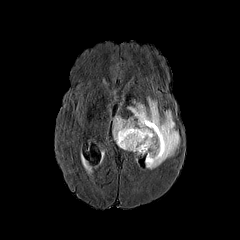
FLAIR MRI.
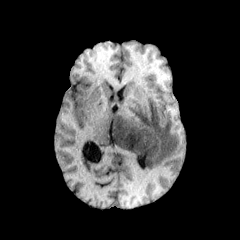
Same slice, T1-weighted magnetic resonance.
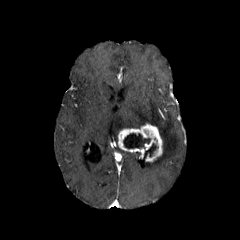
Post-contrast T1-weighted MR image.
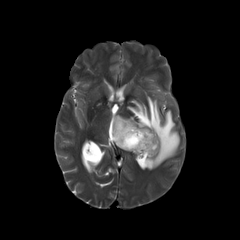
T2-weighted magnetic resonance.
Brain | Axial view | 240x240
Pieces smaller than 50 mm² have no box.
<segmentation>
  <peritumoral_edema>113,97,179,169</peritumoral_edema>
  <enhancing_tumor>117,123,162,162</enhancing_tumor>
  <necrotic_tumor_core>147,143,158,156; 123,133,150,148</necrotic_tumor_core>
</segmentation>